Slice 119/155. Brain. 240x240 px. Axial view.
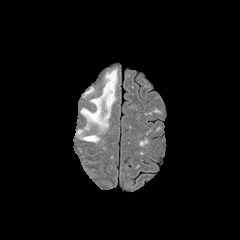
FLAIR magnetic resonance.
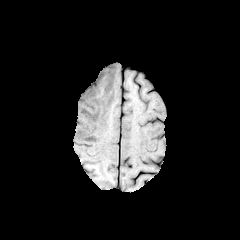
T1-weighted MR image.
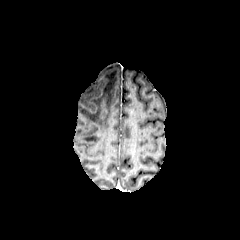
Post-contrast T1-weighted MR image.
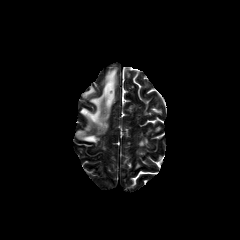
Same slice, T2-weighted MRI.
peritumoral edema at box=[76, 68, 117, 142]; box=[83, 87, 95, 97]